FLAIR MR.
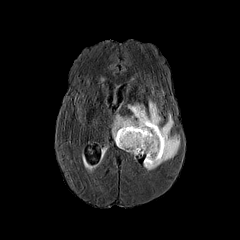
T1-weighted MRI.
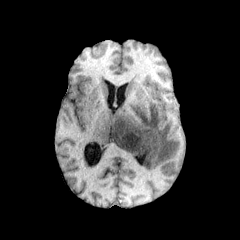
Post-contrast T1-weighted magnetic resonance.
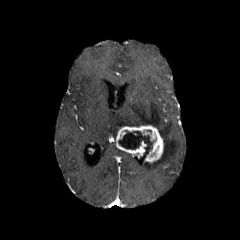
T2-weighted MR image.
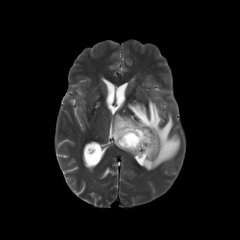
240x240; Brain; Axial plane
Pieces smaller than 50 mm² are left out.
enhancing tumor: rect(115, 124, 163, 163)
necrotic tumor core: rect(118, 130, 153, 153)
peritumoral edema: rect(112, 100, 179, 170)